Brain
FLAIR MRI.
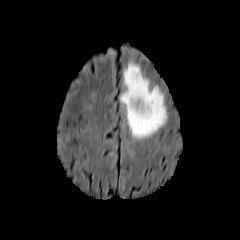
T1-weighted MR image.
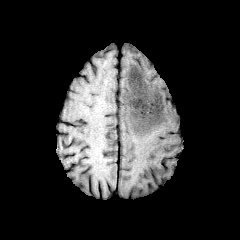
Post-contrast T1-weighted magnetic resonance.
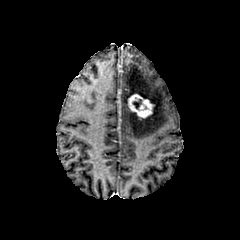
T2-weighted magnetic resonance.
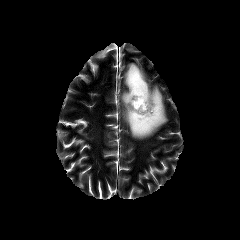
{"enhancing_tumor": ["x1=128, y1=94, x2=154, y2=119"], "peritumoral_edema": ["x1=120, y1=62, x2=167, y2=139"], "necrotic_tumor_core": ["x1=133, y1=99, x2=141, y2=108"]}